FLAIR MRI.
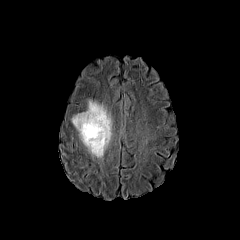
T1-weighted MRI.
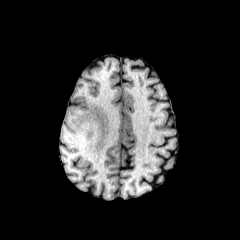
Post-contrast T1-weighted magnetic resonance.
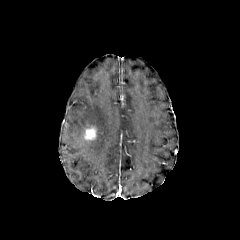
T2-weighted MR.
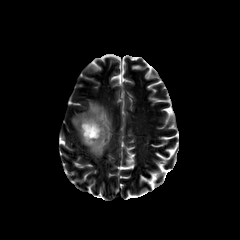
Axial plane. Image size 240x240.
The enhancing tumor is bounded by bbox(83, 124, 97, 142). The peritumoral edema is located at bbox(72, 100, 111, 157).